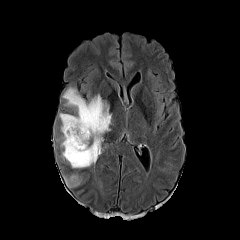
FLAIR MR.
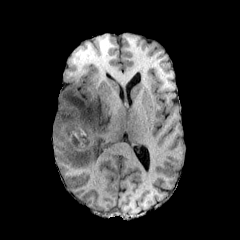
T1-weighted MR image.
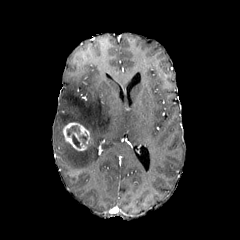
Post-contrast T1-weighted magnetic resonance of the same slice.
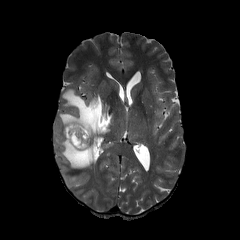
T2-weighted magnetic resonance of the same slice.
Image size 240x240
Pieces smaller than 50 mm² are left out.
<segmentation>
  <necrotic_tumor_core>box(72, 134, 80, 147); box(67, 126, 79, 136)</necrotic_tumor_core>
  <peritumoral_edema>box(64, 174, 81, 187); box(58, 87, 111, 168)</peritumoral_edema>
  <enhancing_tumor>box(63, 122, 90, 150)</enhancing_tumor>
</segmentation>